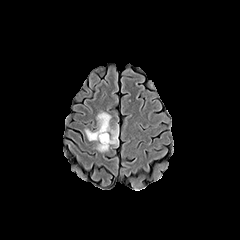
FLAIR MR.
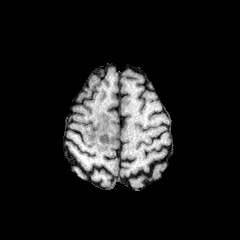
Same slice, T1-weighted MRI.
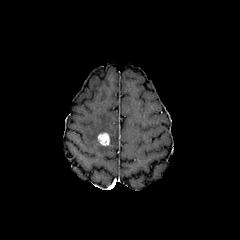
Same slice, post-contrast T1-weighted MR.
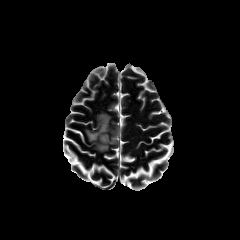
T2-weighted MR of the same slice.
Axial view
enhancing tumor = <box>97,132,109,145</box>
peritumoral edema = <box>85,112,118,151</box>